240x240 px, Head
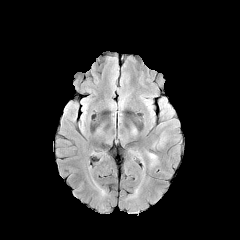
FLAIR magnetic resonance.
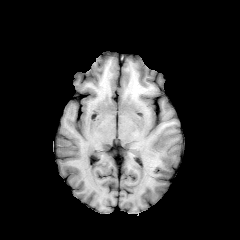
T1-weighted MR of the same slice.
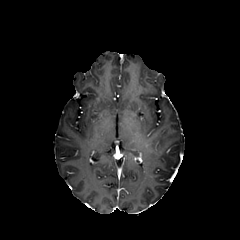
Same slice, post-contrast T1-weighted MR image.
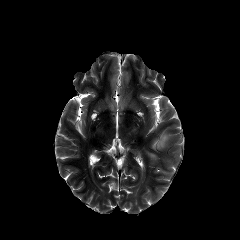
T2-weighted MRI.
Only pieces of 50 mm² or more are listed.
The largest peritumoral edema region is located at (157,135,166,145).